FLAIR MR.
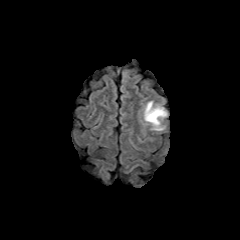
T1-weighted MRI.
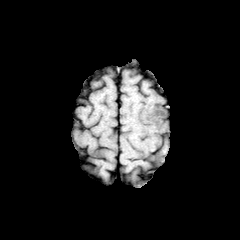
Post-contrast T1-weighted MR image.
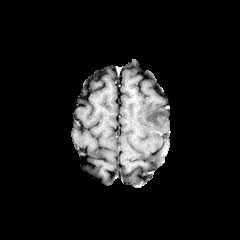
T2-weighted MR.
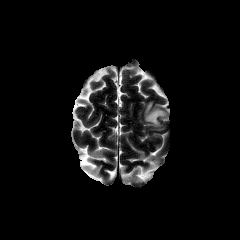
240x240 px | Head
The peritumoral edema lies within (x1=144, y1=101, x2=167, y2=130).